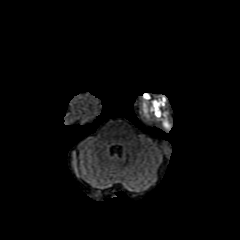
FLAIR magnetic resonance.
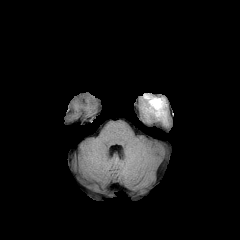
T1-weighted MR image.
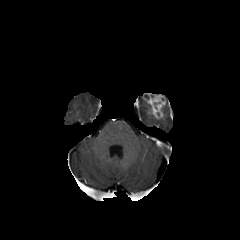
Post-contrast T1-weighted MR image of the same slice.
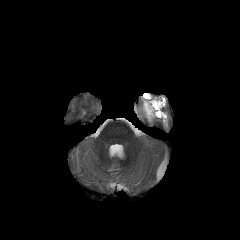
T2-weighted MR image.
Head | Axial slice
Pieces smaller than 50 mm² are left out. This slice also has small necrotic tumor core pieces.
2 peritumoral edema regions are bounded by x1=142, y1=99, x2=153, y2=119; x1=157, y1=111, x2=169, y2=130. The enhancing tumor is at x1=143, y1=93, x2=165, y2=118.